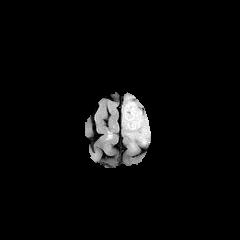
FLAIR MRI.
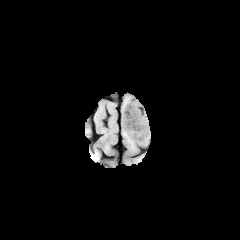
Same slice, T1-weighted MR image.
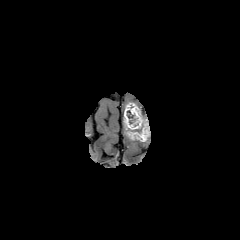
Post-contrast T1-weighted MR of the same slice.
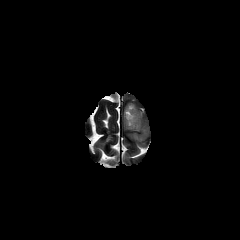
T2-weighted magnetic resonance.
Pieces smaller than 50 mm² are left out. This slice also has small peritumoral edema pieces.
necrotic_tumor_core:
  - rect(127, 110, 135, 124)
enhancing_tumor:
  - rect(123, 102, 149, 141)